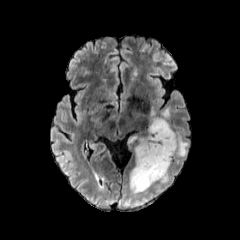
FLAIR MR.
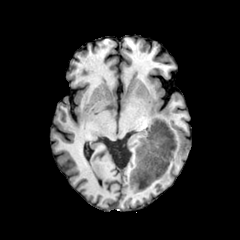
T1-weighted MRI.
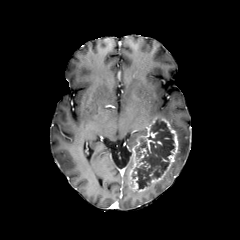
Post-contrast T1-weighted MRI.
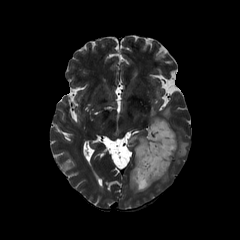
T2-weighted magnetic resonance of the same slice.
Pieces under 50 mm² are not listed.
{
  "peritumoral_edema": [
    "(left=160, top=170, right=169, bottom=183)",
    "(left=159, top=107, right=170, bottom=120)",
    "(left=174, top=131, right=189, bottom=163)"
  ],
  "necrotic_tumor_core": [
    "(left=132, top=120, right=174, bottom=189)"
  ],
  "enhancing_tumor": [
    "(left=129, top=116, right=178, bottom=191)"
  ]
}